FLAIR MRI.
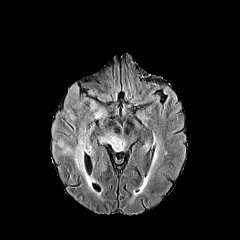
T1-weighted MR image.
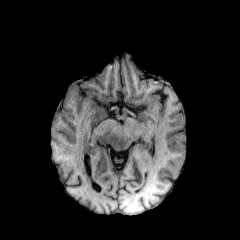
Post-contrast T1-weighted MR.
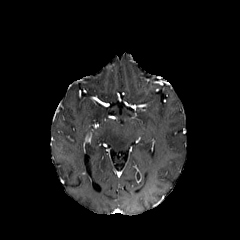
T2-weighted MRI.
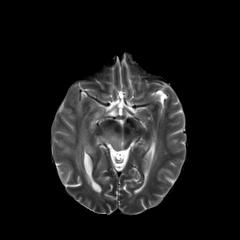
Head
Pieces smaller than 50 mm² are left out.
<segmentation>
  <peritumoral_edema>[94,109,104,118], [56,125,86,172], [84,174,91,187], [99,131,126,152], [85,145,94,155]</peritumoral_edema>
</segmentation>